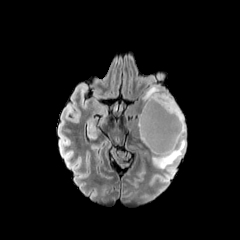
FLAIR MR.
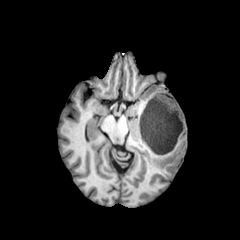
T1-weighted magnetic resonance.
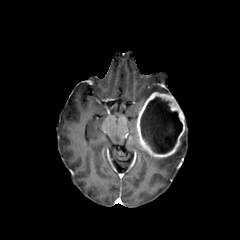
Same slice, post-contrast T1-weighted MR image.
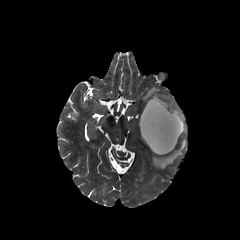
T2-weighted magnetic resonance.
The necrotic tumor core appears at rect(140, 97, 182, 153). 2 peritumoral edema regions are located at rect(152, 126, 186, 168); rect(142, 85, 169, 102). The enhancing tumor is at rect(136, 92, 185, 157).